FLAIR MR image.
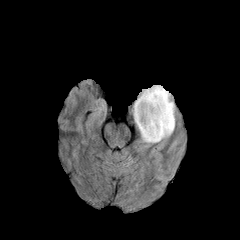
T1-weighted MR image.
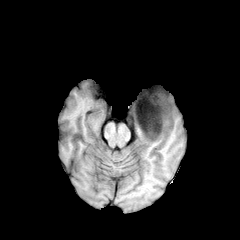
Post-contrast T1-weighted magnetic resonance.
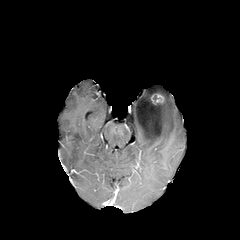
T2-weighted magnetic resonance.
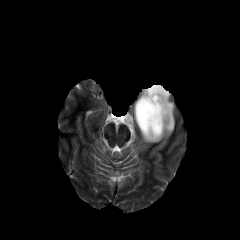
Brain
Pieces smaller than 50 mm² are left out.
peritumoral edema at [132, 89, 175, 143]
enhancing tumor at [151, 92, 166, 104], [135, 86, 164, 138]
necrotic tumor core at [136, 88, 168, 136]